FLAIR MRI.
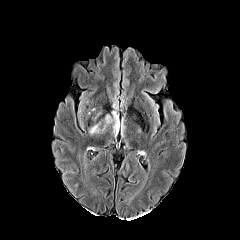
T1-weighted MRI.
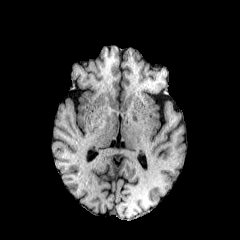
Post-contrast T1-weighted MR.
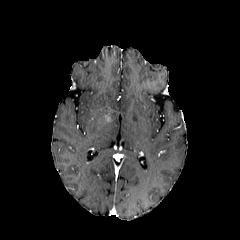
T2-weighted MRI.
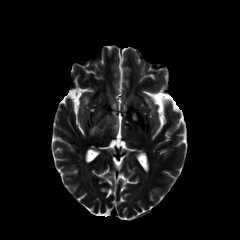
Axial plane
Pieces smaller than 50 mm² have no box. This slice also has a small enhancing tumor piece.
peritumoral edema = <bbox>121, 118, 124, 135</bbox>, <bbox>89, 101, 119, 136</bbox>